FLAIR MR.
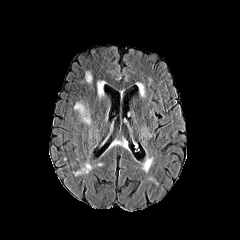
T1-weighted MRI.
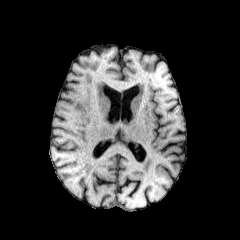
Post-contrast T1-weighted magnetic resonance.
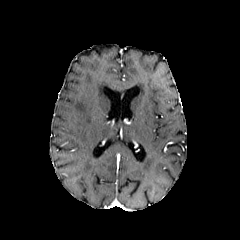
T2-weighted MR image.
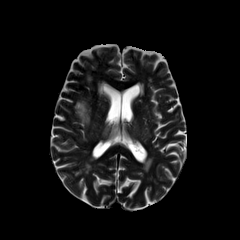
240x240 px
{
  "peritumoral_edema": [
    "[86, 72, 91, 82]",
    "[74, 102, 90, 124]",
    "[97, 81, 104, 97]"
  ]
}